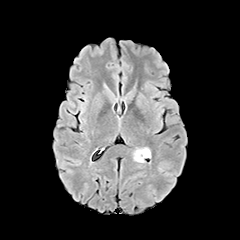
FLAIR MR.
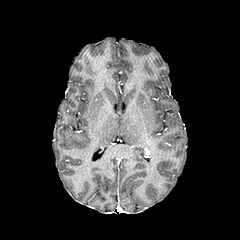
T1-weighted MR image.
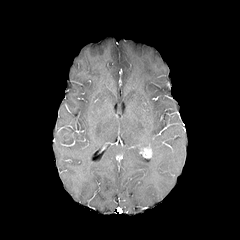
Post-contrast T1-weighted MR image.
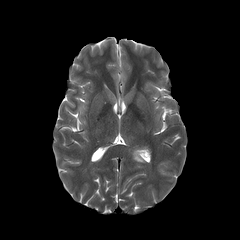
T2-weighted MR.
The enhancing tumor is bounded by 139, 148, 151, 157. The peritumoral edema is at 133, 148, 144, 162.